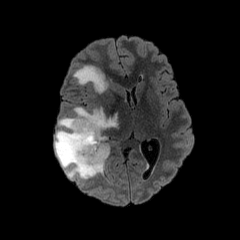
FLAIR MR image.
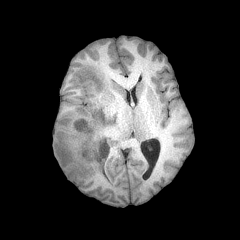
T1-weighted magnetic resonance.
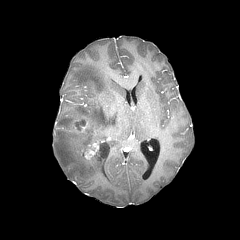
Post-contrast T1-weighted magnetic resonance.
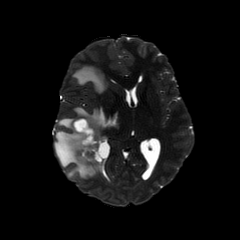
T2-weighted magnetic resonance.
Axial plane. Brain.
Segmented structures:
* necrotic tumor core: [75,120,86,131]
* peritumoral edema: [73,65,108,93], [54,107,118,179]
* enhancing tumor: [73,118,94,133], [82,141,99,160]